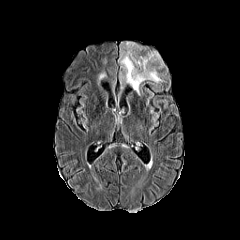
FLAIR MR.
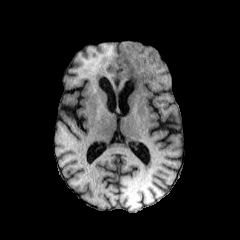
T1-weighted MR image of the same slice.
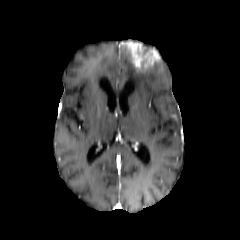
Post-contrast T1-weighted MRI.
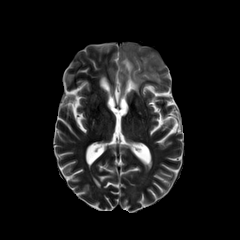
T2-weighted magnetic resonance.
Axial view
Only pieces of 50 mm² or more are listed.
<segmentation>
  <enhancing_tumor>120 41 161 71</enhancing_tumor>
  <peritumoral_edema>119 48 161 94</peritumoral_edema>
</segmentation>